FLAIR MRI.
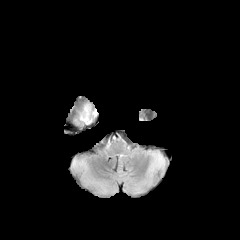
T1-weighted MR image.
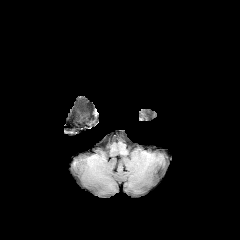
Post-contrast T1-weighted MR.
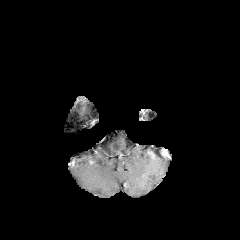
T2-weighted MR image.
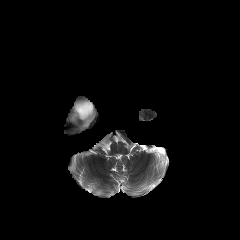
Brain.
Segmented structures:
* peritumoral edema: region(77, 103, 96, 124)